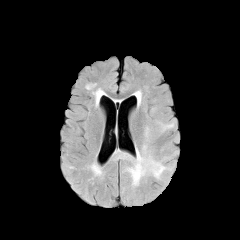
FLAIR MR.
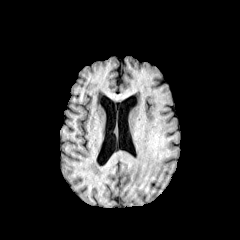
T1-weighted magnetic resonance.
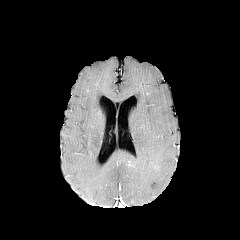
Post-contrast T1-weighted MRI.
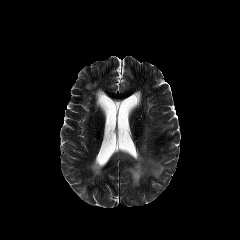
Same slice, T2-weighted MR.
Head.
peritumoral_edema:
  - 119:143:168:186
  - 157:122:174:132
  - 136:91:141:105
  - 144:126:151:141